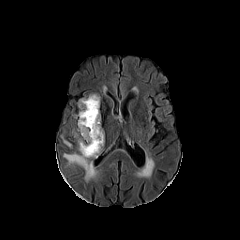
FLAIR MR image.
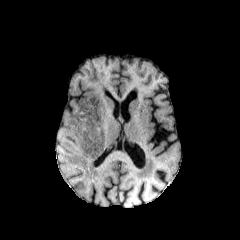
T1-weighted MR.
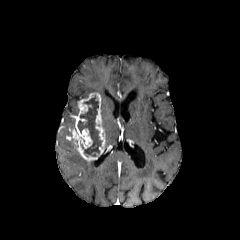
Post-contrast T1-weighted MRI.
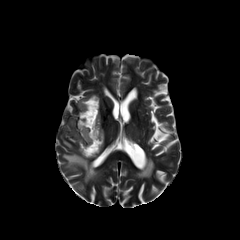
T2-weighted MRI.
Axial view
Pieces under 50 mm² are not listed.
The largest necrotic tumor core region appears at bbox=[77, 96, 101, 156]. The enhancing tumor is at bbox=[72, 93, 104, 161]. 2 peritumoral edema regions appear at bbox=[61, 136, 72, 148]; bbox=[63, 153, 98, 182].